Brain. Slice index 92.
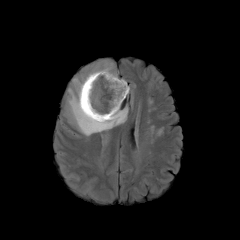
FLAIR MR.
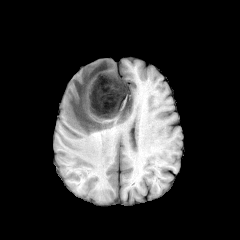
T1-weighted MR image of the same slice.
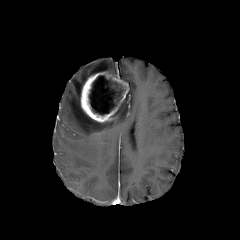
Post-contrast T1-weighted MR image.
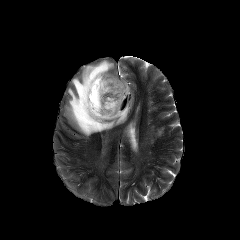
T2-weighted MRI.
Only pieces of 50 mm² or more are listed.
necrotic tumor core: 89 75 116 115 | peritumoral edema: 64 58 128 136 | enhancing tumor: 80 71 129 122